240x240 px | Head
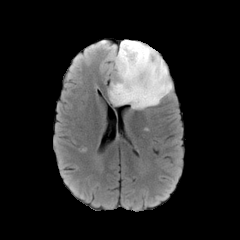
FLAIR magnetic resonance.
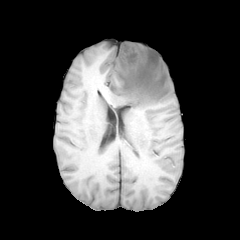
T1-weighted MR image of the same slice.
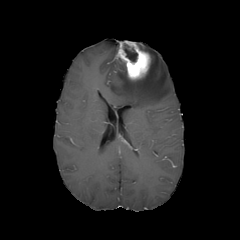
Post-contrast T1-weighted MRI.
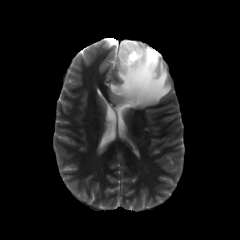
T2-weighted MR of the same slice.
The necrotic tumor core is at rect(124, 44, 137, 61). The enhancing tumor is at rect(115, 40, 151, 80). 2 peritumoral edema regions are located at rect(110, 47, 116, 59); rect(109, 44, 172, 109).